FLAIR MR image.
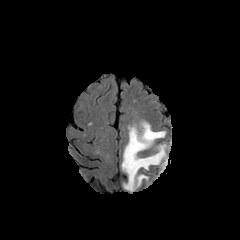
T1-weighted MR image.
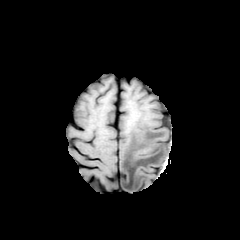
Post-contrast T1-weighted MRI.
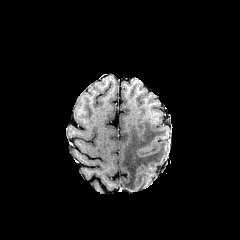
T2-weighted MR.
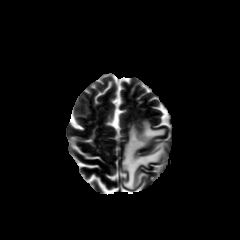
240x240, Brain
The peritumoral edema appears at 121:121:167:191.